Brain, Axial slice, Image width 240 mm, 1.00 mm slice spacing, Slice index 72
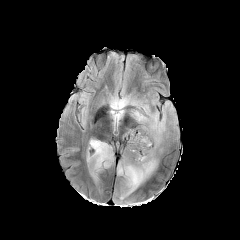
FLAIR MR image.
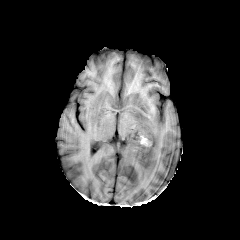
T1-weighted MR image.
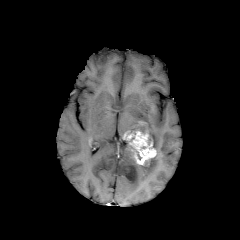
Post-contrast T1-weighted MR.
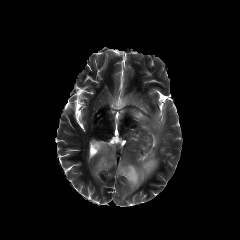
Same slice, T2-weighted MRI.
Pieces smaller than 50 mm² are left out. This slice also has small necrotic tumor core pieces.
• enhancing tumor: bbox(124, 131, 156, 165)
• peritumoral edema: bbox(117, 156, 158, 195); bbox(110, 96, 166, 150); bbox(87, 139, 113, 173)